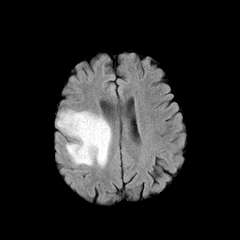
FLAIR MR image.
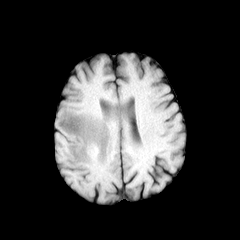
Same slice, T1-weighted MRI.
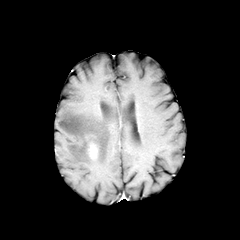
Post-contrast T1-weighted MR.
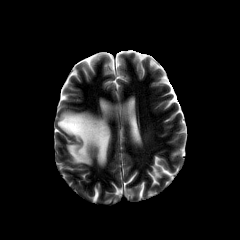
Same slice, T2-weighted MRI.
Axial slice; Head; 240x240 px
Findings:
- peritumoral edema: [57, 110, 111, 167]
- enhancing tumor: [89, 144, 96, 157]